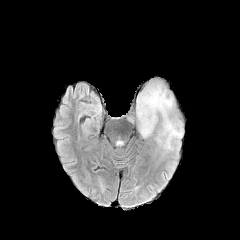
FLAIR MR image.
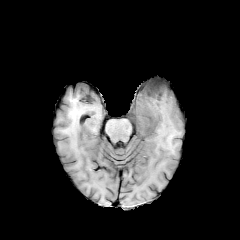
T1-weighted magnetic resonance of the same slice.
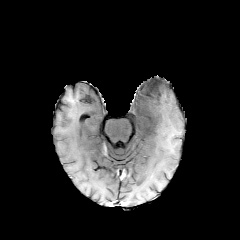
Post-contrast T1-weighted MRI.
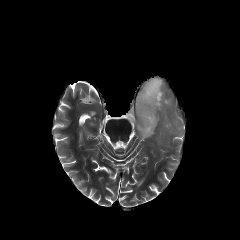
T2-weighted MR image of the same slice.
Brain
peritumoral edema — rect(126, 77, 184, 146)